240x240 | Axial view | Slice 78 of 155 | Head | Image width 240 mm
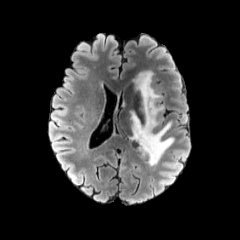
FLAIR magnetic resonance.
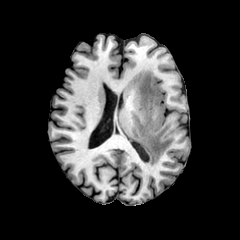
T1-weighted MR of the same slice.
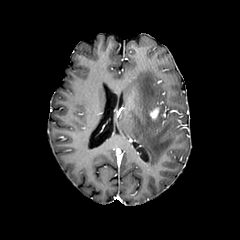
Post-contrast T1-weighted MRI.
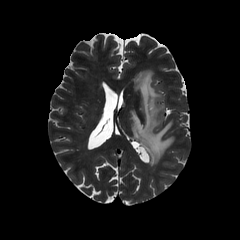
T2-weighted magnetic resonance.
The enhancing tumor is at 149,107,159,119. The peritumoral edema lies within 131,70,174,165.